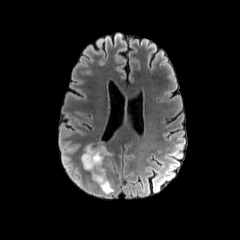
FLAIR magnetic resonance.
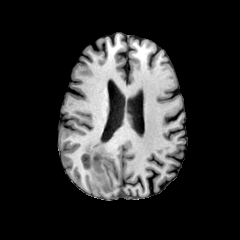
Same slice, T1-weighted MR image.
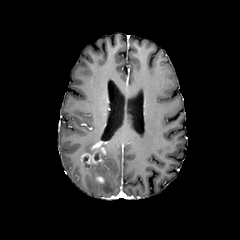
Post-contrast T1-weighted MR of the same slice.
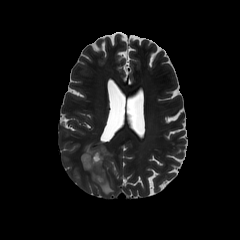
T2-weighted MRI.
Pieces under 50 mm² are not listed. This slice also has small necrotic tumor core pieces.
Findings:
* enhancing tumor: (81, 141, 106, 168), (95, 174, 104, 183)
* peritumoral edema: (84, 162, 113, 194), (85, 145, 93, 153)